Image covers 240 mm x 240 mm, Slice 57 of 155
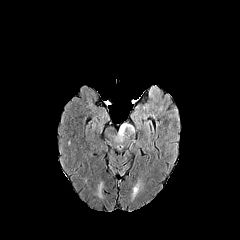
FLAIR MR.
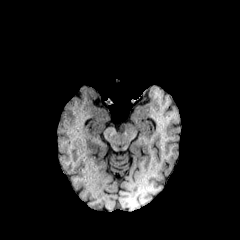
Same slice, T1-weighted MR image.
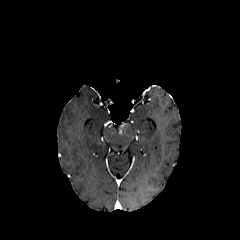
Post-contrast T1-weighted magnetic resonance.
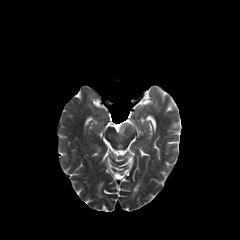
T2-weighted magnetic resonance.
<segmentation>
  <peritumoral_edema>x1=118 y1=122 x2=134 y2=134, x1=133 y1=184 x2=139 y2=196</peritumoral_edema>
</segmentation>